FLAIR MR.
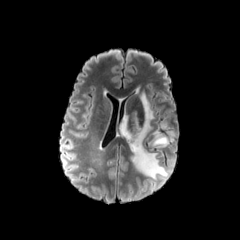
T1-weighted magnetic resonance.
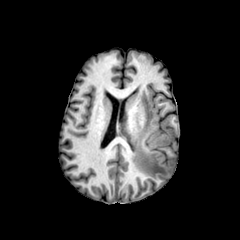
Post-contrast T1-weighted MRI.
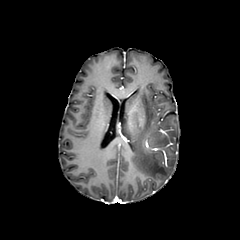
T2-weighted MRI.
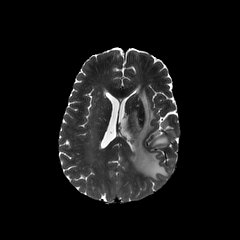
Brain
Findings:
* peritumoral edema: {"x1": 122, "y1": 94, "x2": 173, "y2": 180}, {"x1": 149, "y1": 130, "x2": 172, "y2": 147}